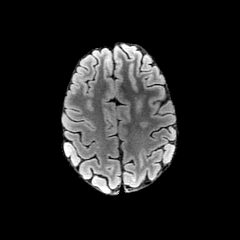
FLAIR MR image.
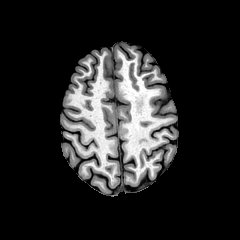
T1-weighted MRI.
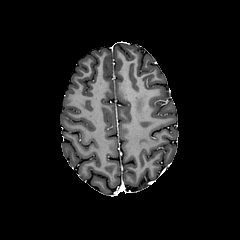
Post-contrast T1-weighted MRI.
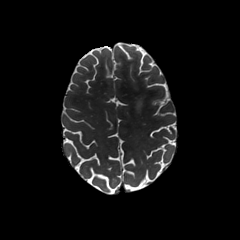
T2-weighted MR.
Brain
peritumoral edema = rect(136, 100, 141, 111)